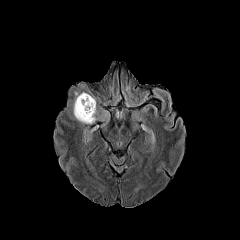
FLAIR MR.
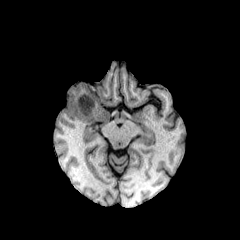
T1-weighted magnetic resonance of the same slice.
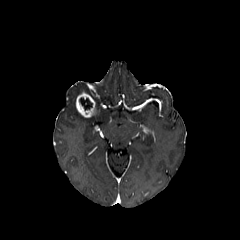
Post-contrast T1-weighted magnetic resonance of the same slice.
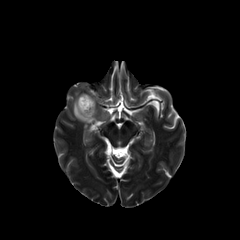
T2-weighted MRI.
Head
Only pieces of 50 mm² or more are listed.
{"peritumoral_edema": ["(left=84, top=127, right=92, bottom=140)", "(left=72, top=92, right=109, bottom=124)"], "enhancing_tumor": ["(left=76, top=92, right=96, bottom=117)"], "necrotic_tumor_core": ["(left=79, top=97, right=92, bottom=110)"]}